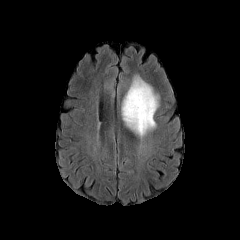
FLAIR MR image.
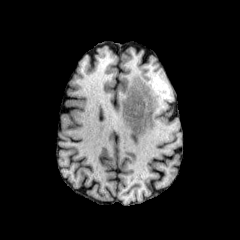
T1-weighted MR.
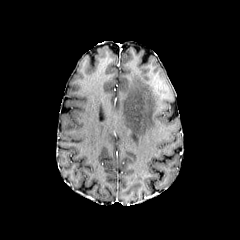
Post-contrast T1-weighted MR image.
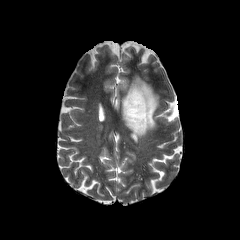
T2-weighted MR of the same slice.
Axial view | Head
peritumoral edema: <bbox>122, 76, 158, 136</bbox>